Head; Slice 101 of 155
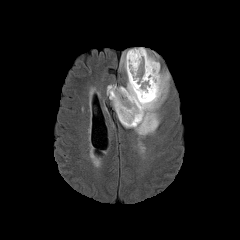
FLAIR MR.
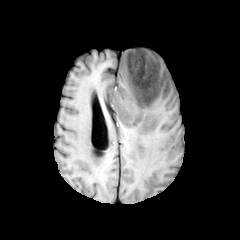
T1-weighted MR.
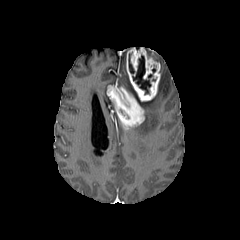
Post-contrast T1-weighted magnetic resonance.
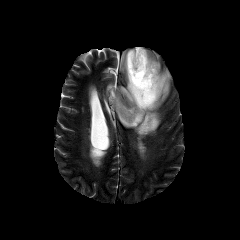
T2-weighted MR of the same slice.
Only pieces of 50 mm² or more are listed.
necrotic tumor core at 132:55:152:94, 128:53:134:74
peritumoral edema at 129:69:169:136, 120:51:132:91
enhancing tumor at 107:47:160:127